Axial slice | Head | Image width 240 mm
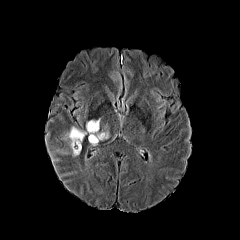
FLAIR MR image.
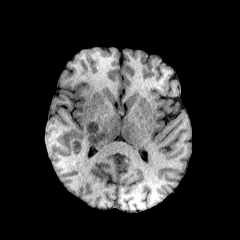
T1-weighted magnetic resonance.
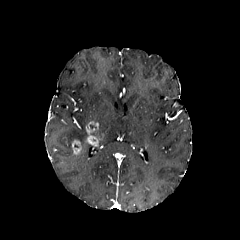
Post-contrast T1-weighted MRI.
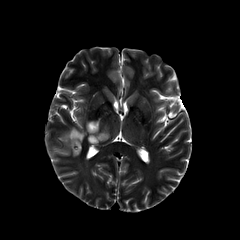
Same slice, T2-weighted MR image.
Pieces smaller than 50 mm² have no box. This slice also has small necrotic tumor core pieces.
The 2 largest peritumoral edema regions are bounded by l=99, t=130, r=109, b=140; l=67, t=127, r=86, b=144. 2 enhancing tumor regions are located at l=86, t=121, r=103, b=143; l=71, t=140, r=81, b=154.